240x240 px. Slice index 109. Head.
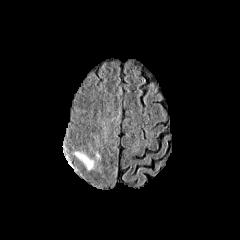
FLAIR MR.
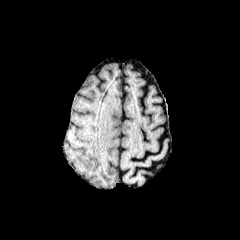
T1-weighted MR of the same slice.
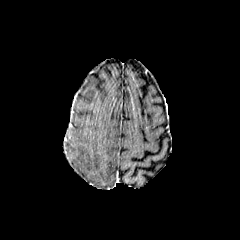
Same slice, post-contrast T1-weighted magnetic resonance.
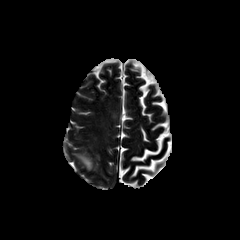
T2-weighted MR image.
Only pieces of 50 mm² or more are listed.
<segmentation>
  <peritumoral_edema>(75,152,93,169)</peritumoral_edema>
</segmentation>